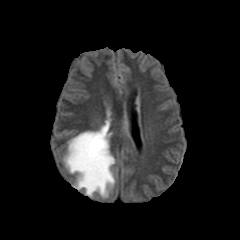
FLAIR magnetic resonance.
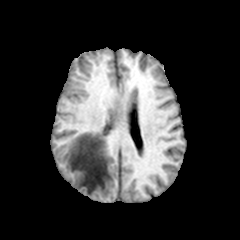
Same slice, T1-weighted magnetic resonance.
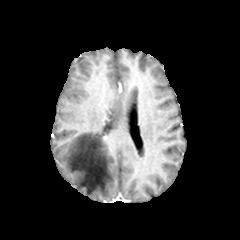
Same slice, post-contrast T1-weighted MRI.
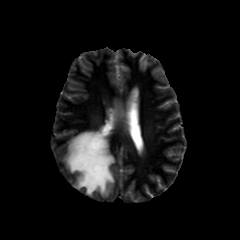
Same slice, T2-weighted MRI.
Axial view. 240x240.
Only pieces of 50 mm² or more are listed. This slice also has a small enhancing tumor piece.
peritumoral edema: box(63, 120, 115, 197)